Slice index 76, 240x240, Head, Axial slice
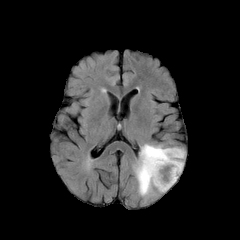
FLAIR MRI.
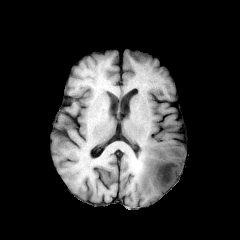
T1-weighted MR.
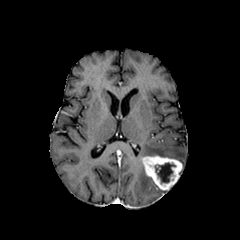
Post-contrast T1-weighted MR image.
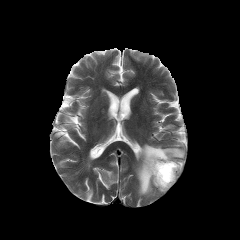
T2-weighted magnetic resonance.
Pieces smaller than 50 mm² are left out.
peritumoral_edema:
  - box=[135, 144, 185, 196]
necrotic_tumor_core:
  - box=[156, 163, 175, 182]
enhancing_tumor:
  - box=[142, 155, 182, 190]